Image size 240x240; Brain; Image width 240 mm; Axial plane
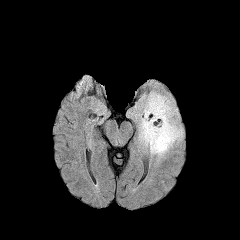
FLAIR MRI.
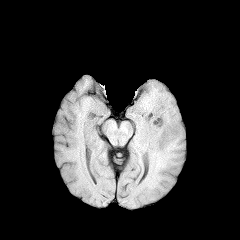
Same slice, T1-weighted MR.
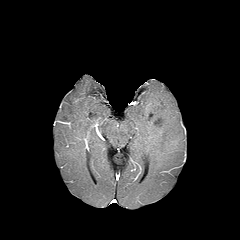
Same slice, post-contrast T1-weighted magnetic resonance.
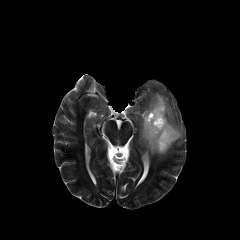
Same slice, T2-weighted MR.
{"peritumoral_edema": ["(133,92,183,159)"]}